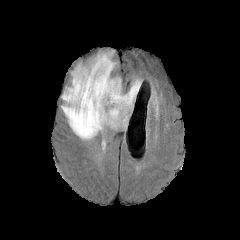
FLAIR MR image.
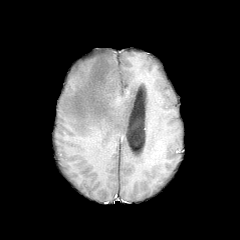
Same slice, T1-weighted MR image.
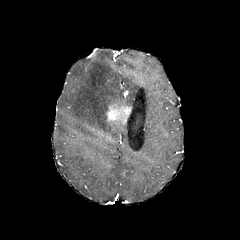
Post-contrast T1-weighted MRI.
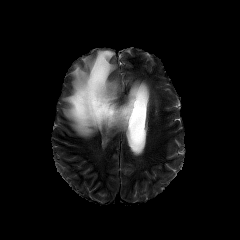
T2-weighted MRI of the same slice.
Head
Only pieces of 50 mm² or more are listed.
The enhancing tumor lies within [106, 104, 131, 124]. The largest peritumoral edema region is bounded by [61, 51, 142, 139].